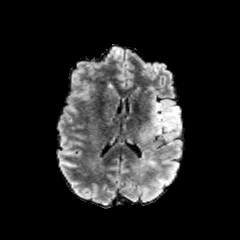
FLAIR MR.
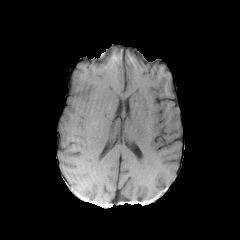
T1-weighted MRI.
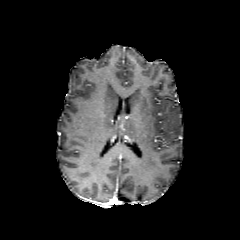
Post-contrast T1-weighted MRI.
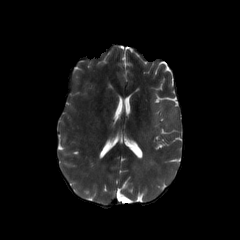
T2-weighted MR.
Axial slice, Head
2 peritumoral edema regions appear at (141, 155, 159, 172), (138, 101, 180, 142).